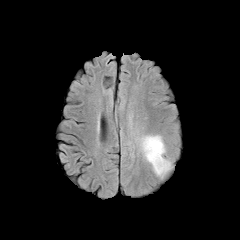
FLAIR MR.
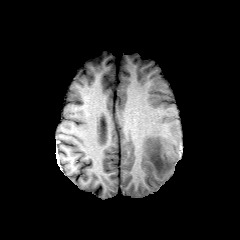
T1-weighted magnetic resonance.
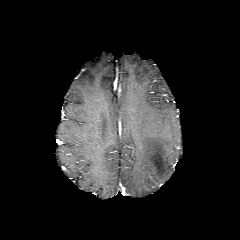
Post-contrast T1-weighted MR.
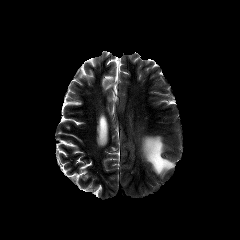
Same slice, T2-weighted MR.
Head. Axial plane. Image size 240x240.
{
  "peritumoral_edema": [
    "l=141, t=135, r=172, b=176"
  ]
}